FLAIR MRI.
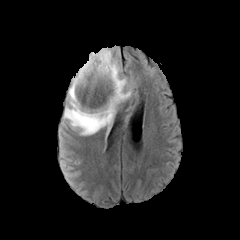
T1-weighted MRI.
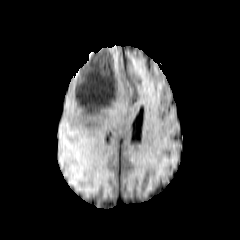
Post-contrast T1-weighted MRI.
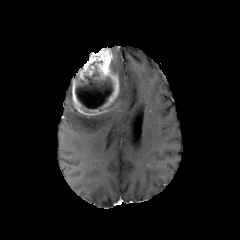
T2-weighted MR.
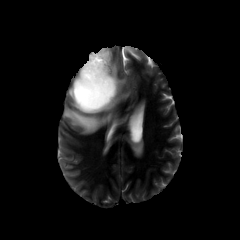
Head; Axial view
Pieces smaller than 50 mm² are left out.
The necrotic tumor core is at (x1=76, y1=78, x2=112, y2=108). The largest peritumoral edema region is located at (x1=64, y1=57, x2=131, y2=134). The enhancing tumor is located at (x1=71, y1=47, x2=119, y2=117).